FLAIR MRI.
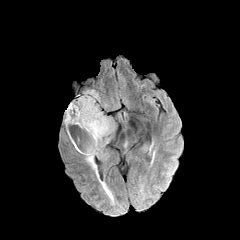
T1-weighted MR.
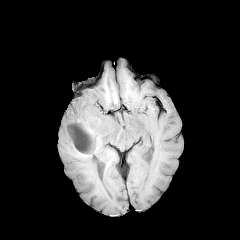
Post-contrast T1-weighted MRI.
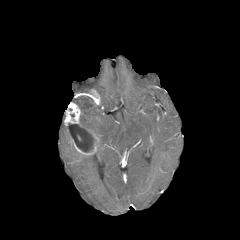
T2-weighted MR image.
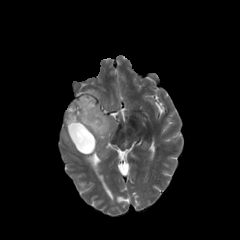
Head | Axial plane
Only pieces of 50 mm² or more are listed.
enhancing tumor: 64,102,98,154; 88,89,100,102 | peritumoral edema: 73,96,114,174 | necrotic tumor core: 68,124,94,152